Image size 240x240; Axial plane; Brain; Slice 66 of 155
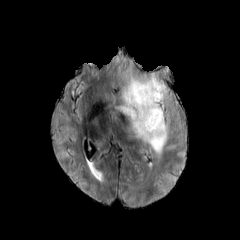
FLAIR MRI.
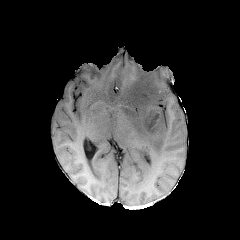
T1-weighted MR of the same slice.
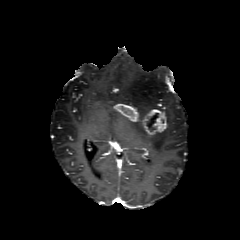
Post-contrast T1-weighted MR.
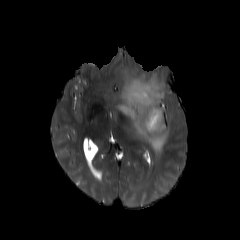
T2-weighted MRI of the same slice.
peritumoral edema — 118, 72, 167, 119; 129, 111, 169, 155
enhancing tumor — 114, 104, 167, 134
necrotic tumor core — 147, 113, 158, 131